FLAIR MRI.
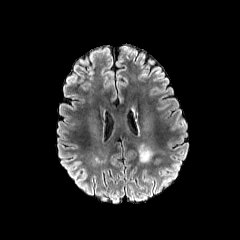
T1-weighted MR image.
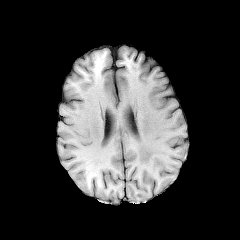
Post-contrast T1-weighted MRI.
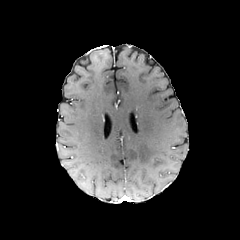
T2-weighted MR.
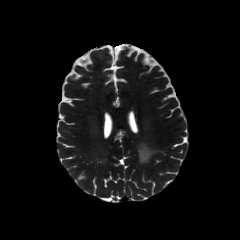
Axial plane.
peritumoral edema at 139,144,152,162